Axial view | Slice index 47
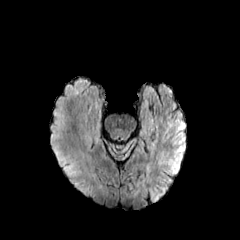
FLAIR MR image.
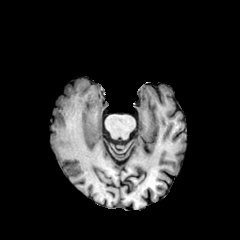
T1-weighted magnetic resonance.
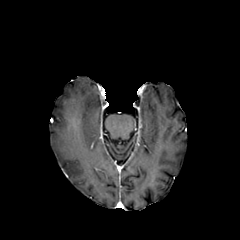
Post-contrast T1-weighted MR image.
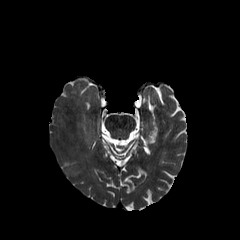
T2-weighted MR image of the same slice.
The peritumoral edema lies within 49,139,91,196.